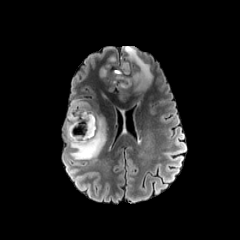
FLAIR MR image.
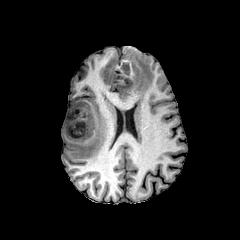
T1-weighted magnetic resonance.
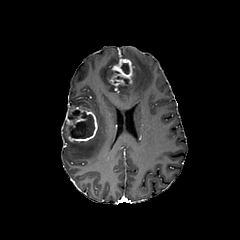
Post-contrast T1-weighted MRI of the same slice.
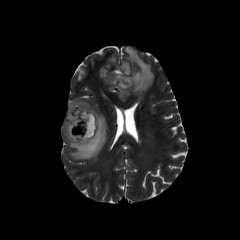
T2-weighted magnetic resonance.
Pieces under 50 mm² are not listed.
{"peritumoral_edema": ["[x1=100, y1=67, x2=112, y2=78]", "[x1=118, y1=86, x2=129, y2=101]", "[x1=70, y1=99, x2=89, y2=108]", "[x1=67, y1=111, x2=106, y2=159]", "[x1=123, y1=46, x2=153, y2=94]"], "necrotic_tumor_core": ["[x1=121, y1=63, x2=129, y2=73]", "[x1=68, y1=110, x2=94, y2=138]"], "enhancing_tumor": ["[x1=107, y1=58, x2=134, y2=87]", "[x1=65, y1=105, x2=97, y2=141]"]}